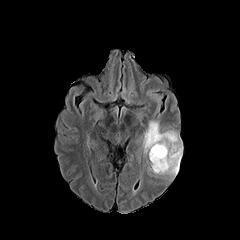
FLAIR MR image.
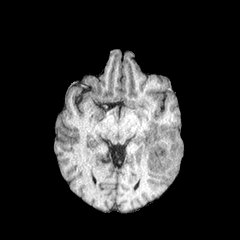
T1-weighted magnetic resonance.
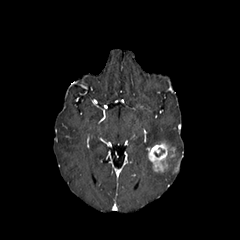
Post-contrast T1-weighted MR image.
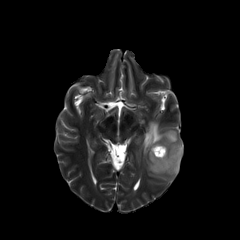
T2-weighted magnetic resonance of the same slice.
Brain.
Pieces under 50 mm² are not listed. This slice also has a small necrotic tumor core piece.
The peritumoral edema appears at [143,121,182,177]. The largest enhancing tumor region appears at [148,141,175,172].